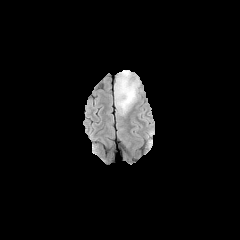
FLAIR MR.
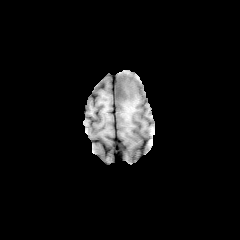
T1-weighted magnetic resonance of the same slice.
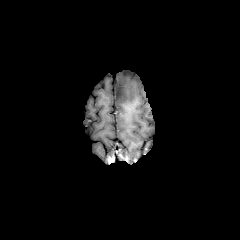
Post-contrast T1-weighted MRI.
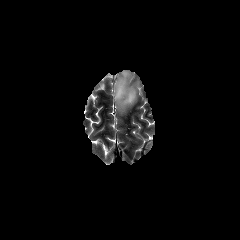
Same slice, T2-weighted magnetic resonance.
Axial plane, 240x240
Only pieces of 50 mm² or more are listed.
{"peritumoral_edema": ["(left=115, top=70, right=139, bottom=113)"], "necrotic_tumor_core": ["(left=115, top=72, right=132, bottom=100)"]}